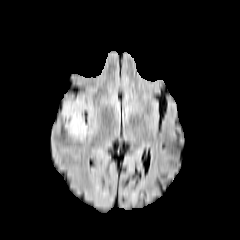
FLAIR magnetic resonance.
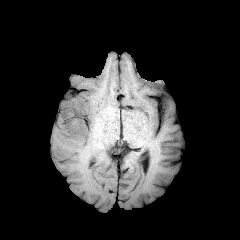
T1-weighted MR image.
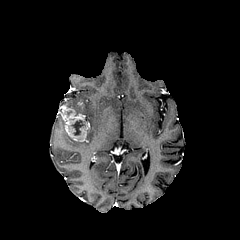
Post-contrast T1-weighted MR image of the same slice.
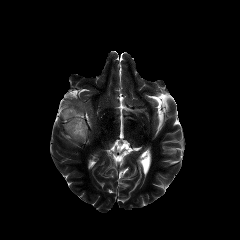
T2-weighted MR of the same slice.
Head, Axial view
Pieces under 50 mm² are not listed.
Annotated regions:
• peritumoral edema: box(64, 100, 84, 113)
• enhancing tumor: box(61, 103, 89, 141)
• necrotic tumor core: box(72, 120, 84, 135)